FLAIR magnetic resonance.
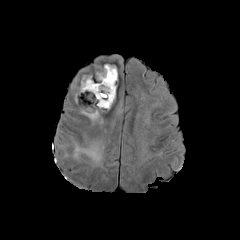
T1-weighted MRI.
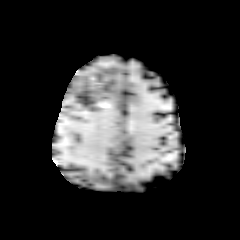
Post-contrast T1-weighted MRI.
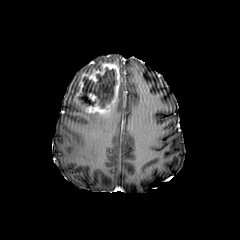
T2-weighted magnetic resonance.
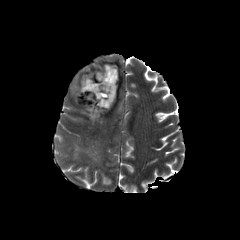
Axial plane | 240x240
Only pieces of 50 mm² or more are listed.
{
  "peritumoral_edema": [
    "[74,144,103,162]",
    "[81,110,103,121]"
  ],
  "necrotic_tumor_core": [
    "[79,67,116,107]"
  ],
  "enhancing_tumor": [
    "[73,63,120,116]"
  ]
}